Axial plane. Brain. Slice index 59.
FLAIR MR.
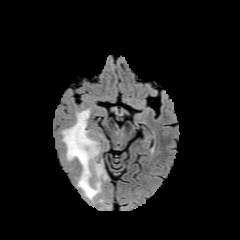
T1-weighted MRI.
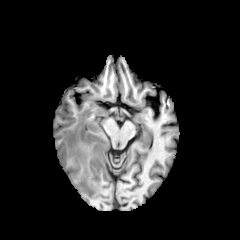
Post-contrast T1-weighted MR image.
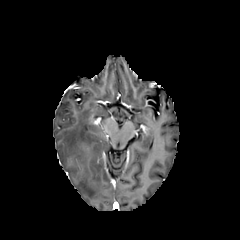
T2-weighted MR image.
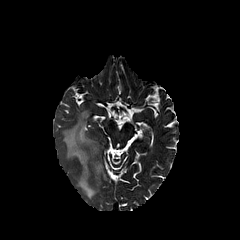
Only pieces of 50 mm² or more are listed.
{
  "peritumoral_edema": [
    "[94,163,105,178]",
    "[61,109,101,199]"
  ]
}